Brain. Slice index 133.
FLAIR MRI.
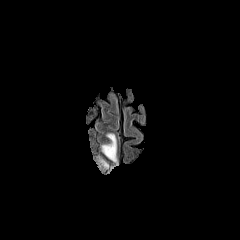
T1-weighted MRI.
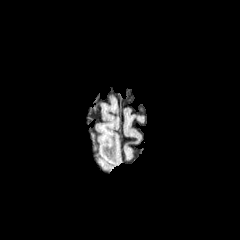
Post-contrast T1-weighted MRI.
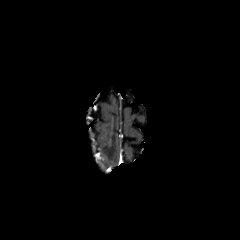
T2-weighted MRI.
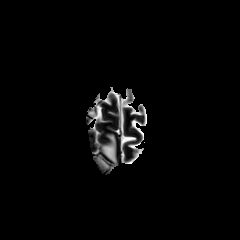
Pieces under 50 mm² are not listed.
peritumoral edema: rect(102, 134, 116, 162)